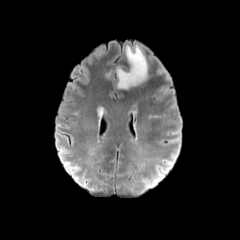
FLAIR MR.
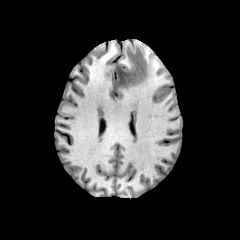
Same slice, T1-weighted MR.
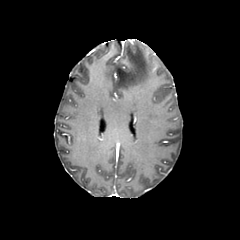
Post-contrast T1-weighted MR.
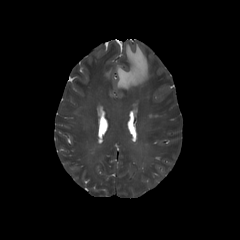
T2-weighted MRI of the same slice.
Brain
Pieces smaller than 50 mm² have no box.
peritumoral edema at 116, 44, 148, 89